Axial slice | 240x240 px
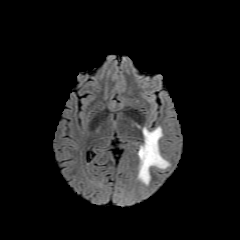
FLAIR MR image.
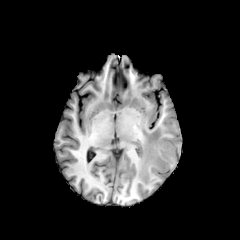
T1-weighted magnetic resonance.
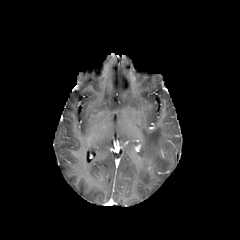
Post-contrast T1-weighted MR image of the same slice.
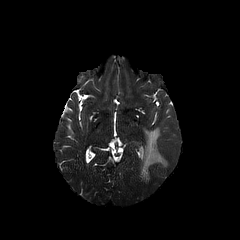
Same slice, T2-weighted MR image.
{"peritumoral_edema": ["box=[138, 127, 169, 184]"]}